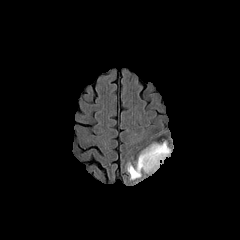
FLAIR MR.
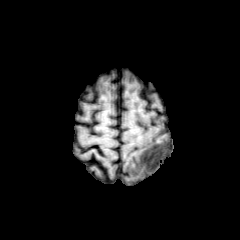
Same slice, T1-weighted magnetic resonance.
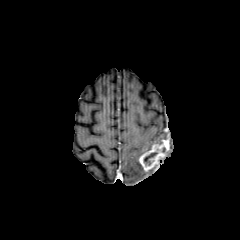
Post-contrast T1-weighted magnetic resonance.
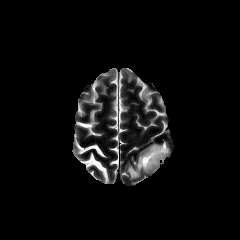
T2-weighted MRI.
240x240, Axial view
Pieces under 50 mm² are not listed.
The largest necrotic tumor core region is located at bbox=[144, 152, 157, 164]. The largest peritumoral edema region is bounded by bbox=[127, 145, 151, 179]. The enhancing tumor is bounded by bbox=[139, 140, 170, 172].